Head
FLAIR MR image.
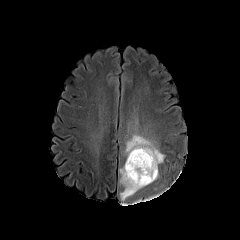
T1-weighted MR.
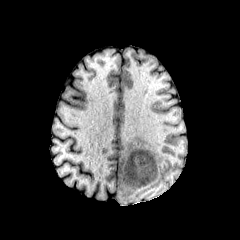
Post-contrast T1-weighted magnetic resonance.
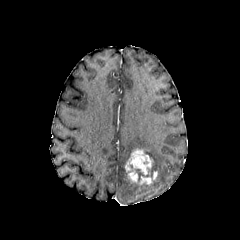
T2-weighted MR.
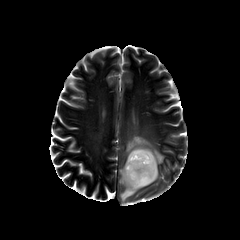
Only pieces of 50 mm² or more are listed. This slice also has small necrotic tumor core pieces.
The enhancing tumor appears at <bbox>125, 148, 157, 185</bbox>. 2 peritumoral edema regions appear at <bbox>119, 164, 147, 201</bbox>, <bbox>125, 134, 164, 179</bbox>.